Slice index 102
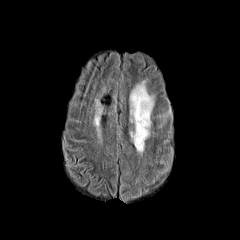
FLAIR magnetic resonance.
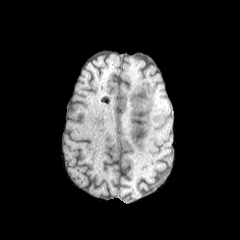
T1-weighted MR.
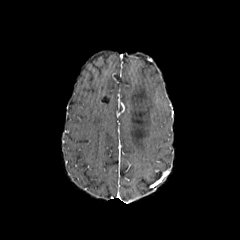
Post-contrast T1-weighted MRI of the same slice.
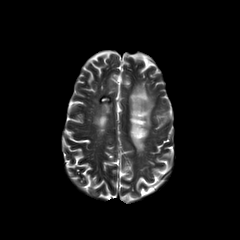
Same slice, T2-weighted MRI.
The peritumoral edema is located at x1=130 y1=82 x2=153 y2=152.